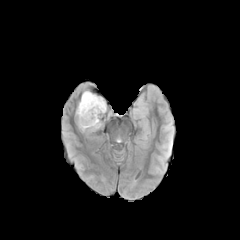
FLAIR MRI.
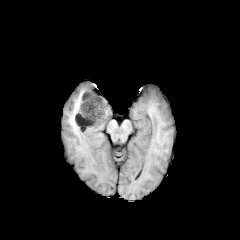
T1-weighted MRI of the same slice.
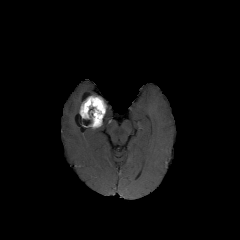
Post-contrast T1-weighted MR.
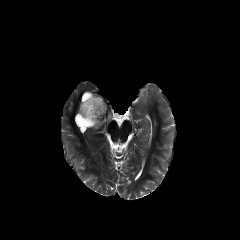
T2-weighted magnetic resonance.
Axial slice. Head.
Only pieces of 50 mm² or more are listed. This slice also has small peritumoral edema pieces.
enhancing tumor at box=[79, 94, 107, 128]
necrotic tumor core at box=[89, 107, 94, 117]; box=[82, 119, 91, 125]